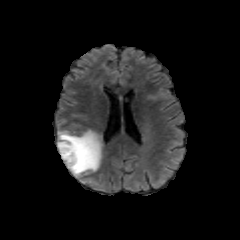
FLAIR MR.
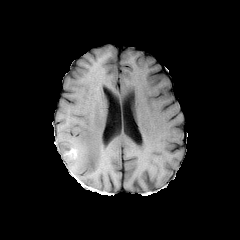
T1-weighted magnetic resonance.
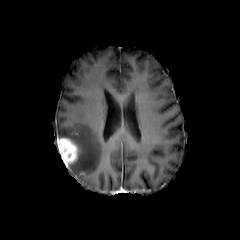
Same slice, post-contrast T1-weighted MRI.
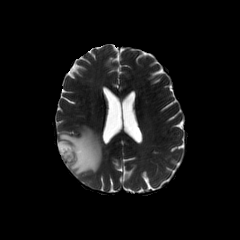
Same slice, T2-weighted MR image.
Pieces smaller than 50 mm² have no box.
Segmented structures:
• enhancing tumor: (58, 137, 79, 167)
• peritumoral edema: (57, 128, 102, 177)